FLAIR MRI.
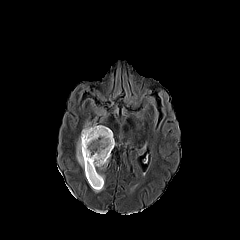
T1-weighted MR.
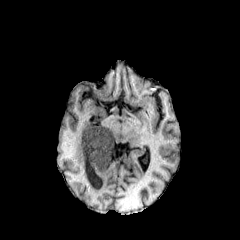
Post-contrast T1-weighted MRI.
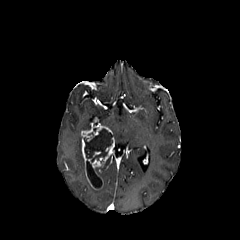
T2-weighted magnetic resonance.
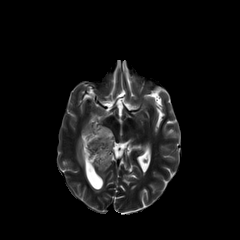
Brain.
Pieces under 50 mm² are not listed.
enhancing_tumor:
  - (81,123,114,189)
peritumoral_edema:
  - (76,136,84,169)
necrotic_tumor_core:
  - (84,128,112,161)
  - (86,160,102,188)